Axial view, Slice index 50, 240x240
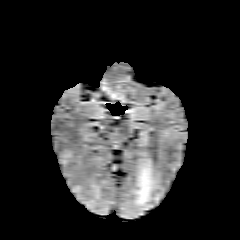
FLAIR MR.
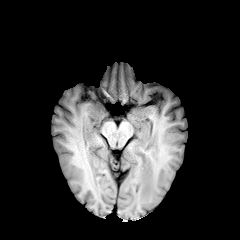
T1-weighted MRI of the same slice.
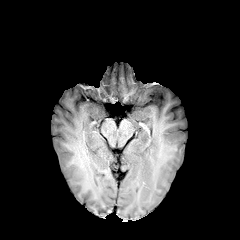
Post-contrast T1-weighted MR image.
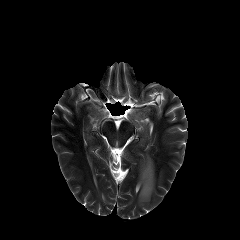
T2-weighted MR of the same slice.
peritumoral edema at bbox(135, 157, 156, 206)